FLAIR MR image.
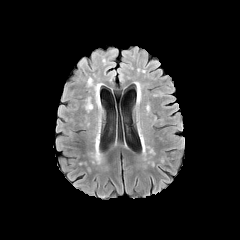
T1-weighted magnetic resonance.
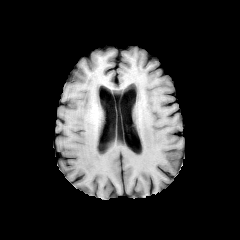
Post-contrast T1-weighted MRI.
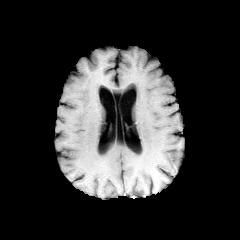
T2-weighted MRI.
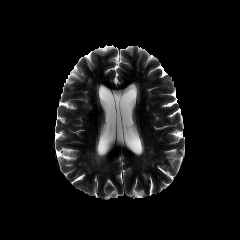
240x240 px.
<segmentation>
  <peritumoral_edema>(x1=95, y1=135, x2=100, y2=161)</peritumoral_edema>
</segmentation>